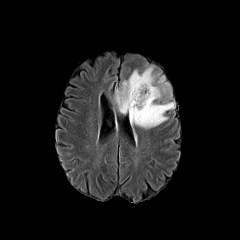
FLAIR MR.
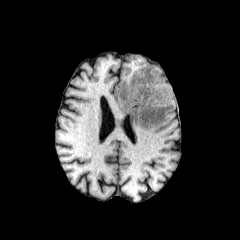
T1-weighted MRI.
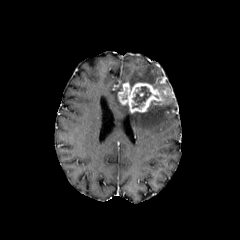
Post-contrast T1-weighted magnetic resonance.
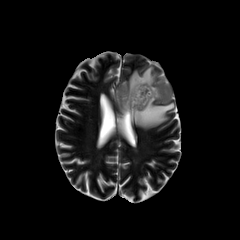
T2-weighted MRI of the same slice.
Axial slice, Brain, 240x240 px
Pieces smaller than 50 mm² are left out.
<segmentation>
  <enhancing_tumor>left=118, top=82, right=162, bottom=113</enhancing_tumor>
  <necrotic_tumor_core>left=132, top=86, right=151, bottom=108</necrotic_tumor_core>
  <peritumoral_edema>left=123, top=66, right=155, bottom=85; left=114, top=89, right=174, bottom=129; left=153, top=83, right=168, bottom=89</peritumoral_edema>
</segmentation>